FLAIR MRI.
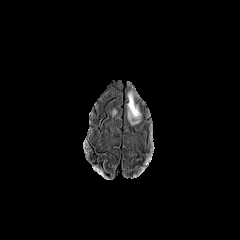
T1-weighted MR image.
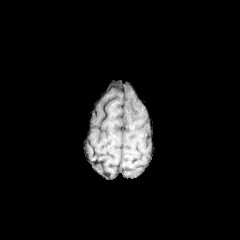
Post-contrast T1-weighted MR.
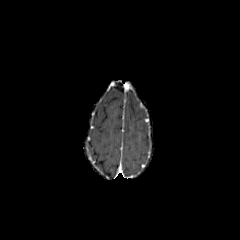
T2-weighted MR image.
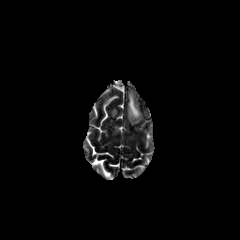
Head. Image size 240x240.
peritumoral edema — box=[127, 91, 142, 125]